Head, Slice 58 of 155, Axial plane, 240x240
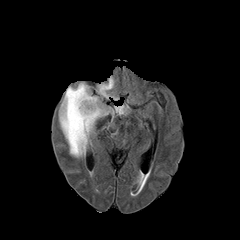
FLAIR MR.
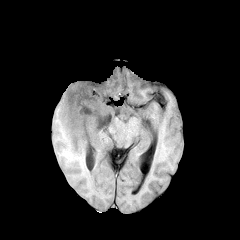
T1-weighted magnetic resonance.
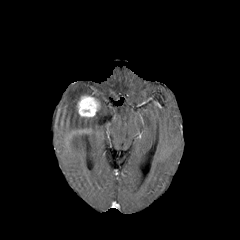
Post-contrast T1-weighted MRI.
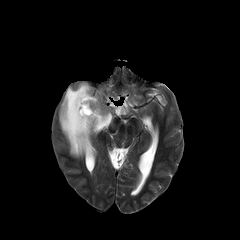
T2-weighted magnetic resonance of the same slice.
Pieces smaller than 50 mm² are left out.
2 enhancing tumor regions are located at box=[76, 94, 100, 117]; box=[69, 128, 91, 137]. The 2 largest peritumoral edema regions appear at box=[59, 82, 128, 157]; box=[97, 77, 118, 100].